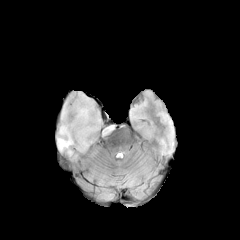
FLAIR magnetic resonance.
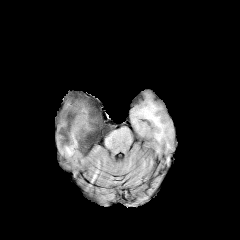
T1-weighted magnetic resonance of the same slice.
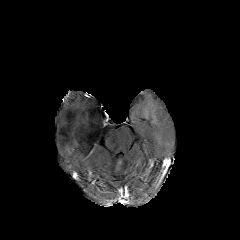
Post-contrast T1-weighted MRI.
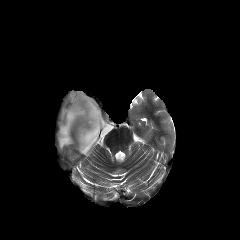
T2-weighted MR image.
Axial slice
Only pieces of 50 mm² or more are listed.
{
  "peritumoral_edema": [
    "x1=57, y1=92, x2=114, y2=156"
  ]
}